Slice 73/155; Brain
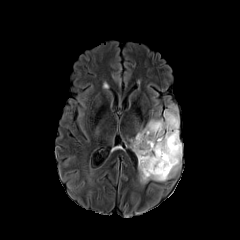
FLAIR MR image.
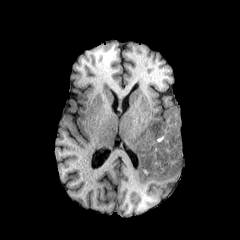
Same slice, T1-weighted MR image.
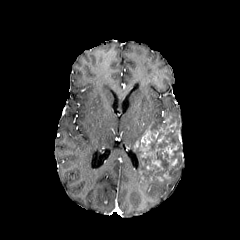
Post-contrast T1-weighted MRI.
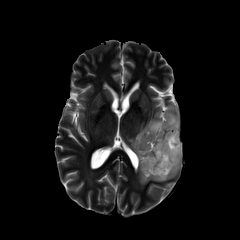
T2-weighted MR.
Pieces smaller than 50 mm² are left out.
The 2 largest enhancing tumor regions are located at x1=134, y1=117, x2=176, y2=169; x1=162, y1=143, x2=178, y2=169. The 4 largest peritumoral edema regions are bounded by x1=130, y1=119, x2=163, y2=150; x1=164, y1=106, x2=179, y2=129; x1=170, y1=156, x2=180, y2=177; x1=134, y1=151, x2=150, y2=183. The 3 largest necrotic tumor core regions are bounded by x1=136, y1=126, x2=180, y2=179; x1=150, y1=122, x2=166, y2=131; x1=149, y1=132, x2=163, y2=150.